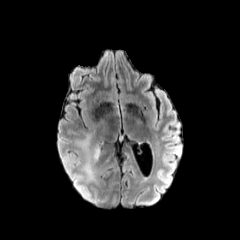
FLAIR MR image.
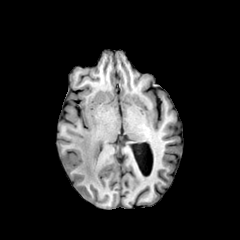
T1-weighted MR.
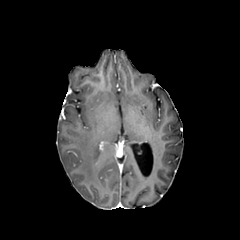
Post-contrast T1-weighted magnetic resonance.
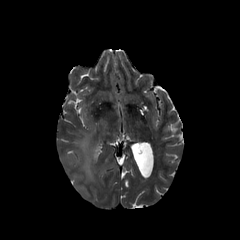
Same slice, T2-weighted MRI.
Axial plane
peritumoral edema at (left=77, top=134, right=100, bottom=181)